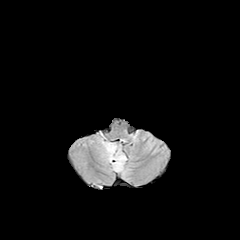
FLAIR MR image.
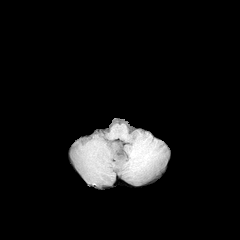
T1-weighted MRI.
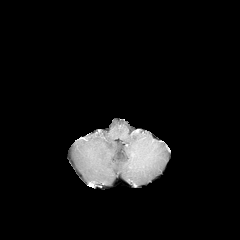
Post-contrast T1-weighted MRI.
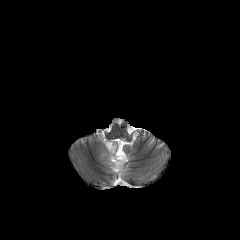
T2-weighted MR.
peritumoral_edema:
  - (101, 141, 126, 174)